Brain
FLAIR MR image.
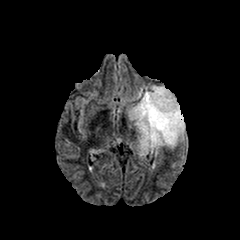
T1-weighted magnetic resonance.
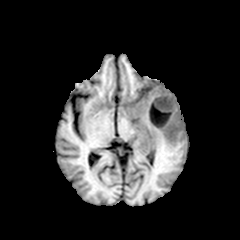
Post-contrast T1-weighted MR image.
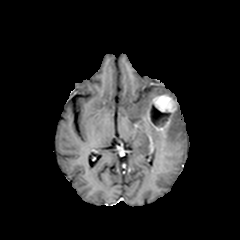
T2-weighted MR image.
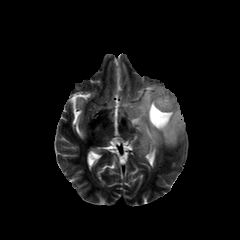
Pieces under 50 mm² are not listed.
Findings:
- peritumoral edema: box(128, 85, 185, 156)
- necrotic tumor core: box(150, 104, 171, 126)
- enhancing tumor: box(147, 94, 176, 136)